FLAIR magnetic resonance.
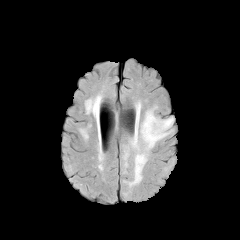
T1-weighted MRI.
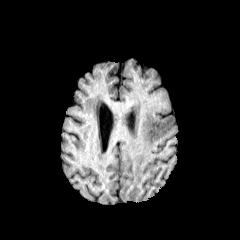
Post-contrast T1-weighted MR image.
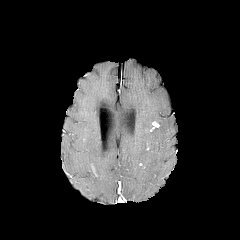
T2-weighted MR.
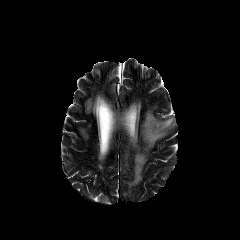
Brain
The enhancing tumor is located at 150 121 159 131. 2 peritumoral edema regions are located at 124 147 129 167, 125 101 174 187.